Brain
FLAIR magnetic resonance.
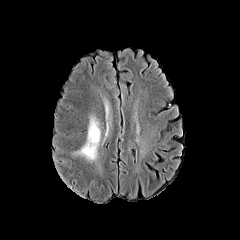
T1-weighted MR image.
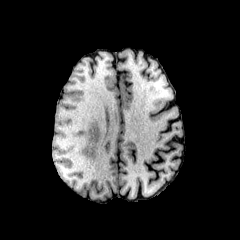
Post-contrast T1-weighted MR.
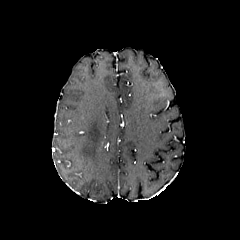
T2-weighted MR image.
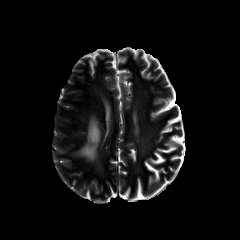
The peritumoral edema appears at box=[77, 117, 100, 160].